FLAIR MR image.
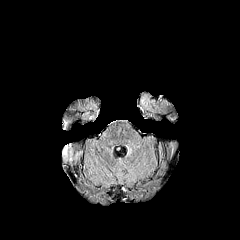
T1-weighted MR image.
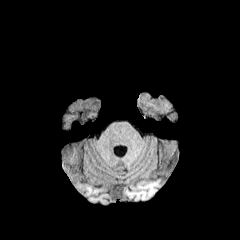
Post-contrast T1-weighted MRI.
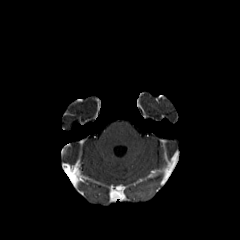
T2-weighted magnetic resonance.
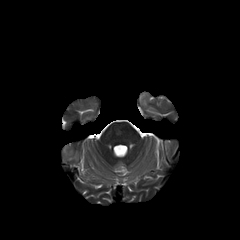
Axial slice
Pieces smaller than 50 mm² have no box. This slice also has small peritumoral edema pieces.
enhancing tumor: bounding box bbox(61, 144, 70, 154)